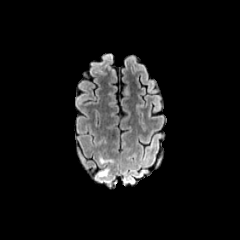
FLAIR MR.
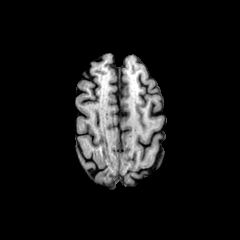
T1-weighted MR.
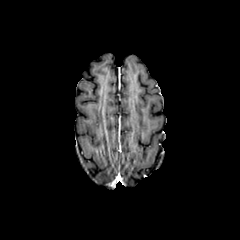
Same slice, post-contrast T1-weighted MR.
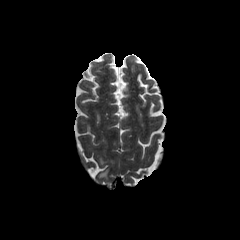
Same slice, T2-weighted MR image.
Image size 240x240; Brain
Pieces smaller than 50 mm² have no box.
The largest peritumoral edema region appears at bbox(98, 169, 108, 177).